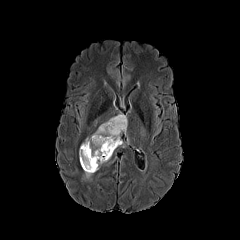
FLAIR MRI.
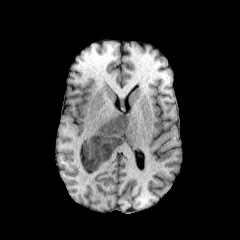
Same slice, T1-weighted MRI.
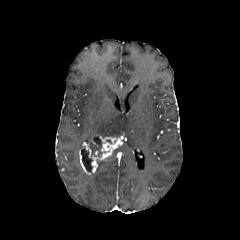
Post-contrast T1-weighted MR of the same slice.
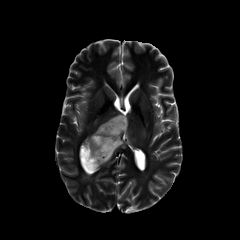
Same slice, T2-weighted MR.
Brain; Axial plane; Image size 240x240
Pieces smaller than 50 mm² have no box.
The 2 largest peritumoral edema regions are bounded by rect(85, 114, 127, 143); rect(96, 157, 110, 170). The largest necrotic tumor core region is at rect(81, 136, 102, 171). The 2 largest enhancing tumor regions are bounded by rect(81, 142, 91, 157); rect(79, 135, 122, 174).